FLAIR MR.
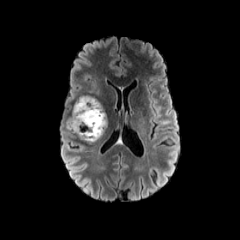
T1-weighted magnetic resonance.
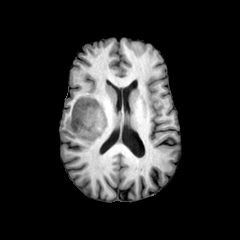
Post-contrast T1-weighted MRI.
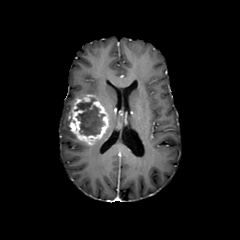
T2-weighted MR image.
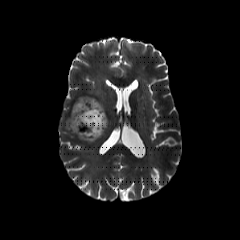
240x240 px
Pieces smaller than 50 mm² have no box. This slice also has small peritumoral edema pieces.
necrotic tumor core at 75 100 104 135
enhancing tumor at 68 95 108 144